Slice 95 of 155
FLAIR magnetic resonance.
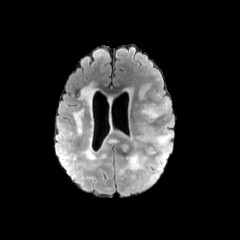
T1-weighted MR.
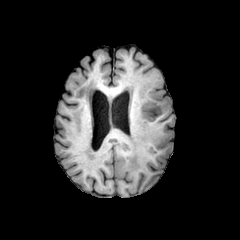
Post-contrast T1-weighted MRI.
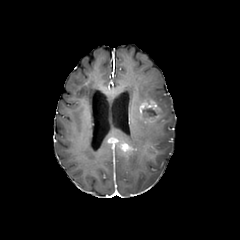
T2-weighted MR.
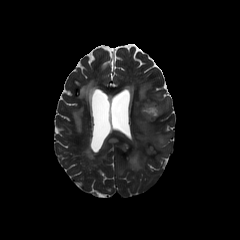
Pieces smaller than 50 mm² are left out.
necrotic tumor core: x1=143, y1=108, x2=156, y2=117 | peritumoral edema: x1=145, y1=147, x2=155, y2=154; x1=126, y1=153, x2=145, y2=170; x1=137, y1=118, x2=171, y2=145; x1=158, y1=98, x2=170, y2=115 | enhancing tumor: x1=139, y1=100, x2=161, y2=122; x1=119, y1=143, x2=130, y2=151